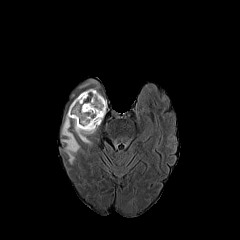
FLAIR MR.
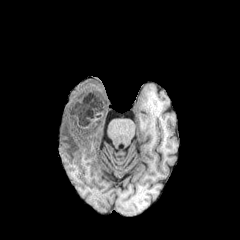
T1-weighted magnetic resonance.
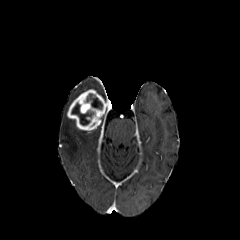
Post-contrast T1-weighted magnetic resonance.
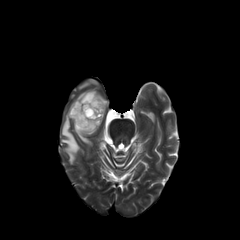
Same slice, T2-weighted magnetic resonance.
Head
enhancing tumor — {"x1": 67, "y1": 89, "x2": 107, "y2": 132}
necrotic tumor core — {"x1": 71, "y1": 103, "x2": 93, "y2": 125}, {"x1": 84, "y1": 94, "x2": 102, "y2": 109}
peritumoral edema — {"x1": 73, "y1": 120, "x2": 95, "y2": 144}, {"x1": 61, "y1": 115, "x2": 80, "y2": 164}, {"x1": 80, "y1": 80, "x2": 96, "y2": 88}